Image width 240 mm, 1.00 mm slice spacing | Brain
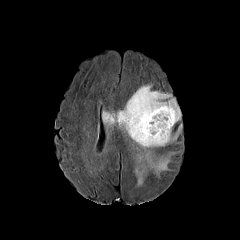
FLAIR magnetic resonance.
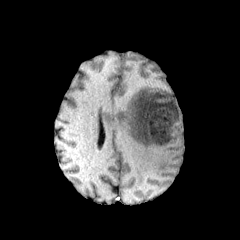
Same slice, T1-weighted MR image.
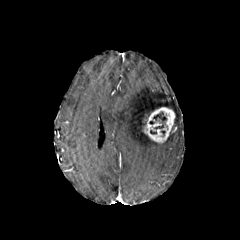
Same slice, post-contrast T1-weighted magnetic resonance.
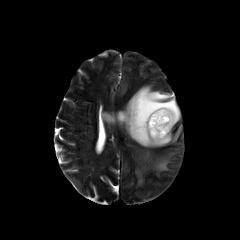
T2-weighted MR image of the same slice.
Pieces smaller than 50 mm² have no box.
The largest necrotic tumor core region lies within region(153, 112, 166, 121). The peritumoral edema is at region(102, 85, 181, 186). The enhancing tumor appears at region(142, 107, 175, 143).